Slice index 101 | 240x240 | Brain | Axial slice
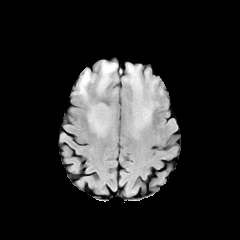
FLAIR MRI.
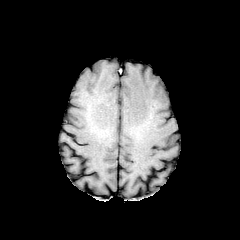
T1-weighted magnetic resonance.
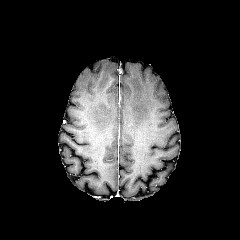
Post-contrast T1-weighted MR image.
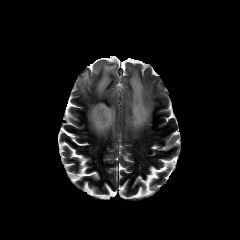
T2-weighted MR image.
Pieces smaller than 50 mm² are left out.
peritumoral edema: bounding box rect(88, 103, 113, 133); rect(122, 64, 156, 129); rect(78, 69, 94, 96); rect(96, 61, 117, 94)